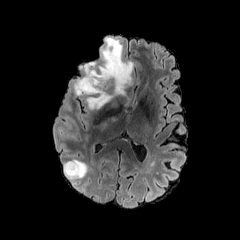
FLAIR MR image.
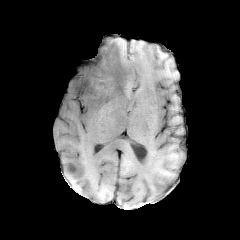
T1-weighted MR.
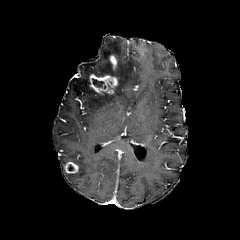
Post-contrast T1-weighted MRI.
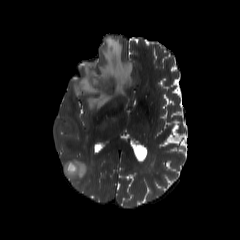
T2-weighted magnetic resonance.
Head, Image size 240x240
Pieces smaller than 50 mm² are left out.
necrotic tumor core at x1=92 y1=79 x2=104 y2=87
enhancing tumor at x1=65 y1=162 x2=77 y2=173, x1=109 y1=55 x2=117 y2=70, x1=85 y1=73 x2=118 y2=94
peritumoral edema at x1=72 y1=36 x2=134 y2=110, x1=64 y1=159 x2=86 y2=179